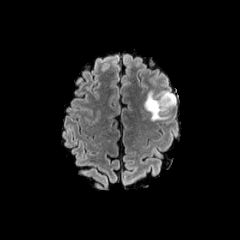
FLAIR MR image.
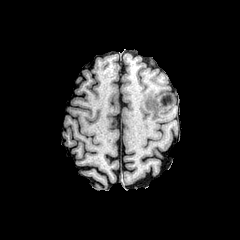
Same slice, T1-weighted MR image.
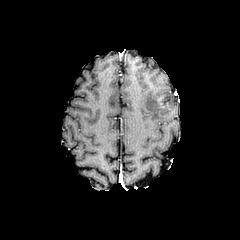
Post-contrast T1-weighted MR.
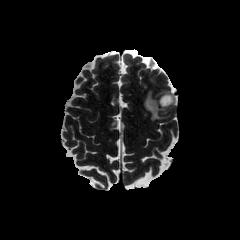
T2-weighted MR.
Axial plane. Brain.
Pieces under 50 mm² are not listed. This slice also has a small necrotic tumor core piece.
enhancing_tumor:
  - <box>156,94,171,110</box>
peritumoral_edema:
  - <box>143,89,176,121</box>